FLAIR magnetic resonance.
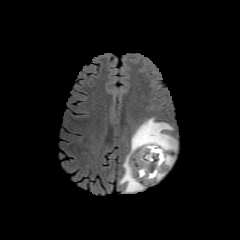
T1-weighted magnetic resonance.
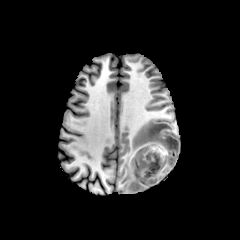
Post-contrast T1-weighted MR image.
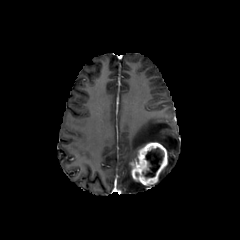
T2-weighted MRI.
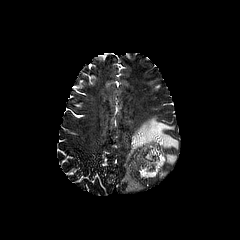
Brain; Axial view
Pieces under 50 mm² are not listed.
peritumoral edema: bounding box 166:154:175:166, 119:118:177:192
enhancing tumor: bounding box 130:142:167:185
necrotic tumor core: bounding box 142:148:163:177